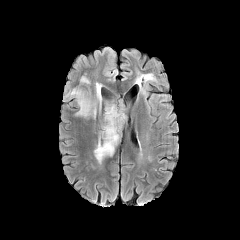
FLAIR MR.
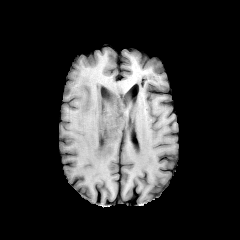
Same slice, T1-weighted MR image.
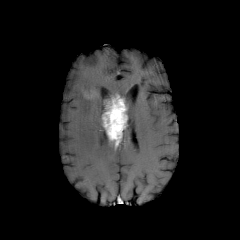
Post-contrast T1-weighted MRI of the same slice.
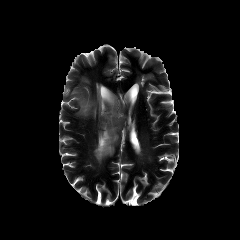
T2-weighted MR of the same slice.
Head. 240x240.
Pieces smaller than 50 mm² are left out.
The 2 largest peritumoral edema regions are bounded by (x1=94, y1=126, x2=114, y2=162), (x1=67, y1=88, x2=102, y2=120). 2 enhancing tumor regions are located at (x1=102, y1=94, x2=127, y2=146), (x1=83, y1=89, x2=99, y2=98).